Image width 240 mm
FLAIR MR image.
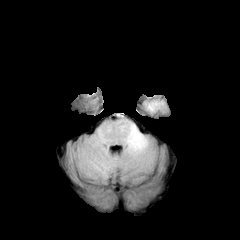
T1-weighted magnetic resonance.
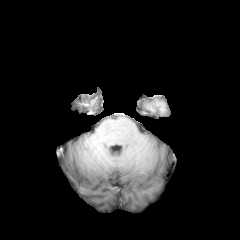
Post-contrast T1-weighted MR.
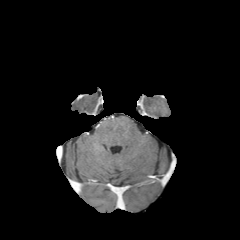
T2-weighted MRI.
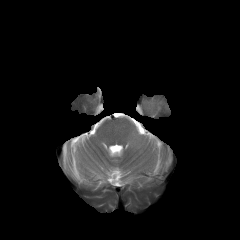
Findings:
- peritumoral edema: 147:102:158:111